FLAIR magnetic resonance.
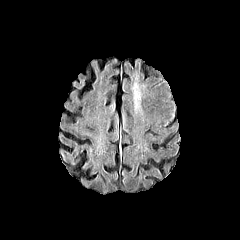
T1-weighted MR.
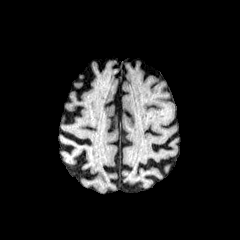
Post-contrast T1-weighted MR image.
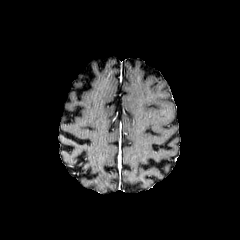
T2-weighted magnetic resonance.
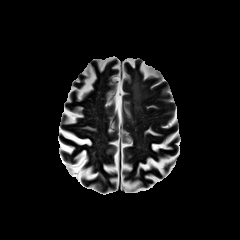
Brain; Axial view
Segmented structures:
- peritumoral edema: (x1=133, y1=84, x2=140, y2=109)